Brain, Slice index 65
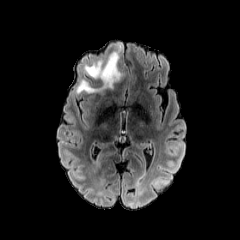
FLAIR magnetic resonance.
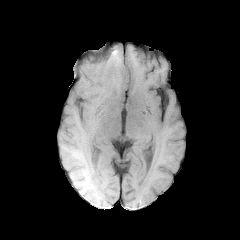
Same slice, T1-weighted MR image.
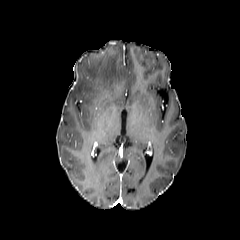
Post-contrast T1-weighted MRI of the same slice.
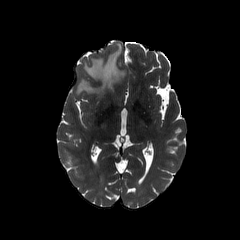
T2-weighted MRI.
The peritumoral edema is at box(76, 45, 124, 93).